Brain, 240x240, Image width 240 mm, 1.00 mm slice spacing, Axial view
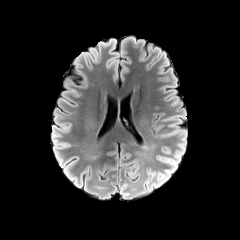
FLAIR MR image.
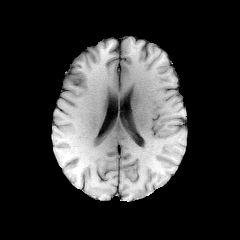
T1-weighted magnetic resonance of the same slice.
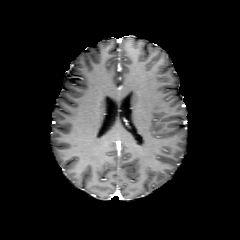
Post-contrast T1-weighted MRI.
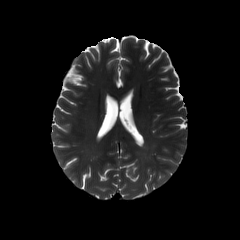
T2-weighted MRI.
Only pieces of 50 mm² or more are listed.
Annotated regions:
- peritumoral edema: 157:152:181:186